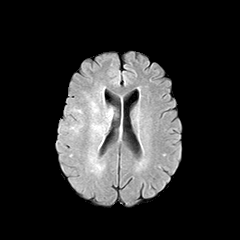
FLAIR MR.
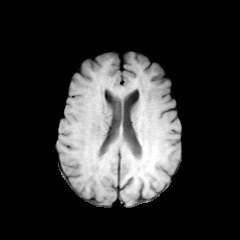
T1-weighted magnetic resonance.
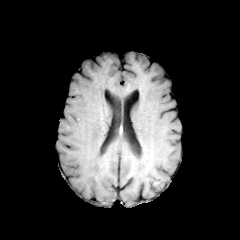
Same slice, post-contrast T1-weighted MRI.
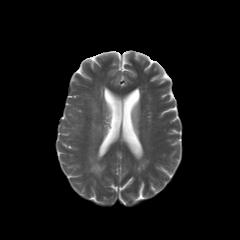
T2-weighted magnetic resonance.
Head | Image size 240x240 | Axial slice
The peritumoral edema is located at (left=94, top=107, right=113, bottom=132).